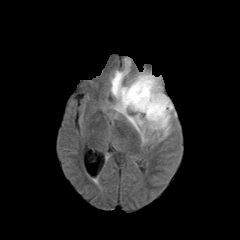
FLAIR MR image.
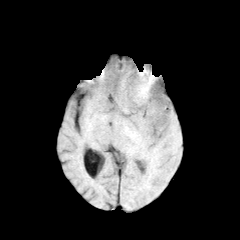
Same slice, T1-weighted MR.
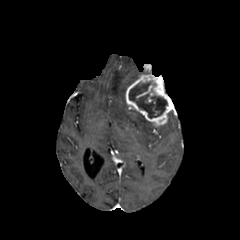
Post-contrast T1-weighted MR image.
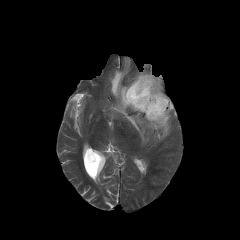
Same slice, T2-weighted MRI.
Axial plane. Brain.
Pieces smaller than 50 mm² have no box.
The largest enhancing tumor region is bounded by (left=125, top=74, right=175, bottom=127). The necrotic tumor core appears at (left=129, top=82, right=167, bottom=118). The largest peritumoral edema region is at (left=110, top=59, right=171, bottom=143).